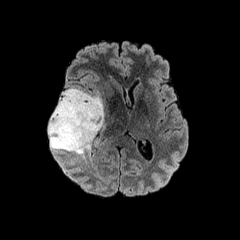
FLAIR MR image.
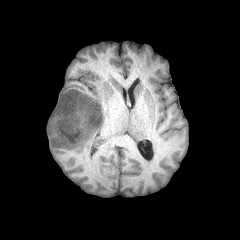
T1-weighted MRI of the same slice.
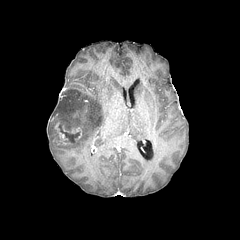
Post-contrast T1-weighted MRI.
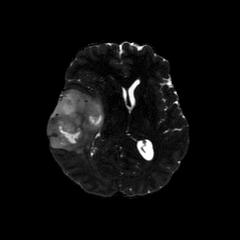
T2-weighted MR.
Head, Image size 240x240
enhancing tumor — box(54, 122, 81, 144)
necrotic tumor core — box(59, 126, 79, 141)
peritumoral edema — box(48, 88, 104, 157)